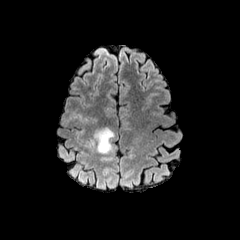
FLAIR MR image.
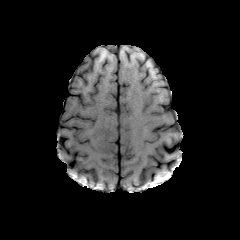
T1-weighted MRI.
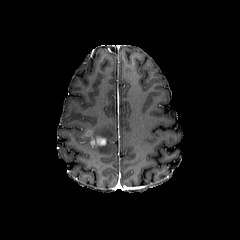
Post-contrast T1-weighted MR.
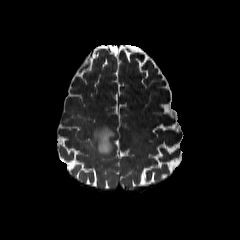
T2-weighted MR.
Axial slice. Head.
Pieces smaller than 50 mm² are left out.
{"enhancing_tumor": ["bbox(91, 138, 106, 146)"], "peritumoral_edema": ["bbox(82, 127, 114, 160)"]}